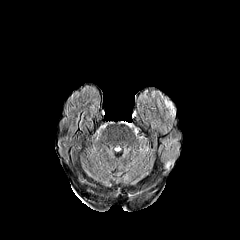
FLAIR MRI.
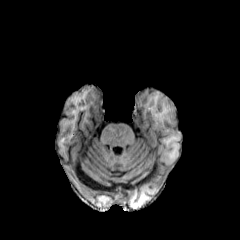
Same slice, T1-weighted MR.
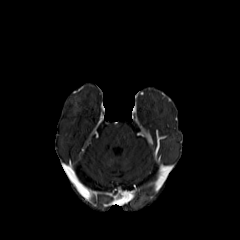
Post-contrast T1-weighted MR.
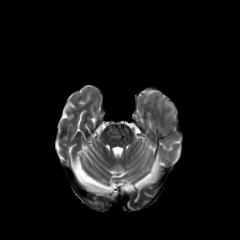
T2-weighted magnetic resonance.
Axial plane
The peritumoral edema is located at (164, 98, 175, 118).